Head. Axial slice. 240x240.
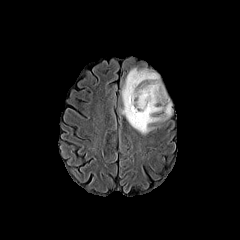
FLAIR MR.
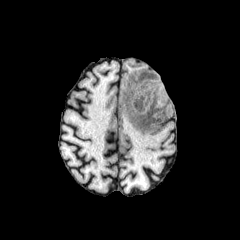
T1-weighted MR image.
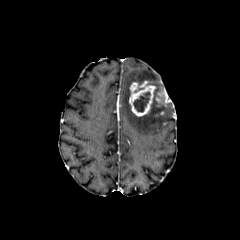
Post-contrast T1-weighted MRI.
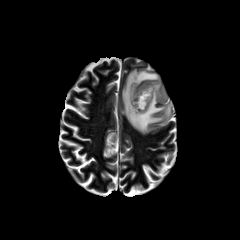
T2-weighted MR of the same slice.
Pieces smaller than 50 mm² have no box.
Findings:
- peritumoral edema: 121,68,172,134
- necrotic tumor core: 133,92,150,112
- enhancing tumor: 129,81,155,116